Head, Axial slice
FLAIR MR.
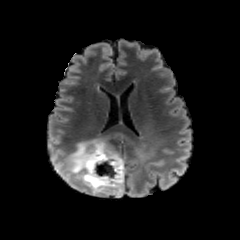
T1-weighted MR.
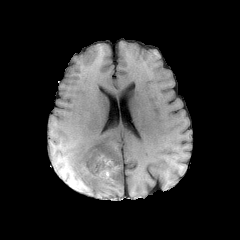
Post-contrast T1-weighted MR image.
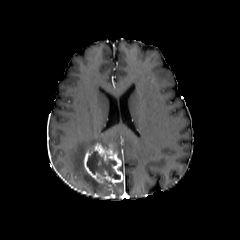
T2-weighted MR.
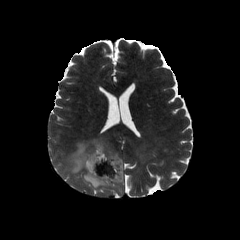
peritumoral_edema:
  - 65,139,124,189
necrotic_tumor_core:
  - 87,151,119,179
enhancing_tumor:
  - 84,144,122,186